240x240. Axial plane.
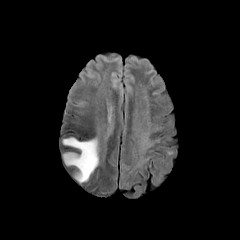
FLAIR MR image.
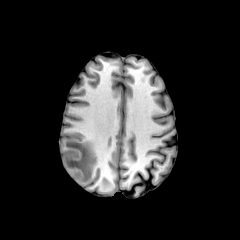
T1-weighted MRI.
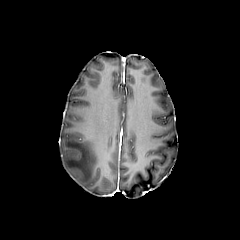
Post-contrast T1-weighted magnetic resonance.
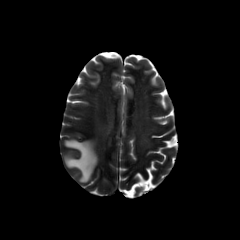
T2-weighted MRI of the same slice.
peritumoral edema = [62, 127, 100, 182]